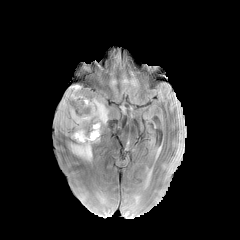
FLAIR magnetic resonance.
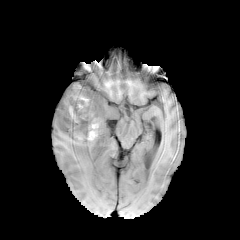
T1-weighted MR image of the same slice.
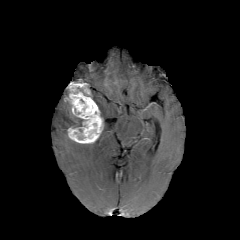
Post-contrast T1-weighted MR image.
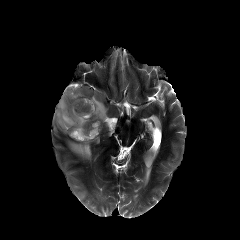
T2-weighted magnetic resonance of the same slice.
Head
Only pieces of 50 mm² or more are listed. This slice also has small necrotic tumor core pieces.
<segmentation>
  <enhancing_tumor>rect(64, 83, 103, 143)</enhancing_tumor>
  <peritumoral_edema>rect(70, 143, 92, 160); rect(56, 98, 83, 133); rect(92, 97, 108, 123)</peritumoral_edema>
</segmentation>